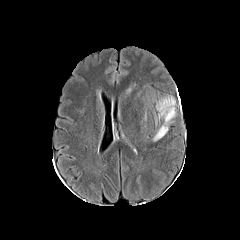
FLAIR MR.
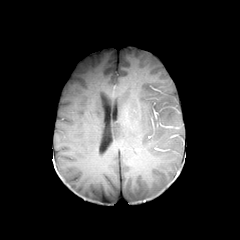
T1-weighted MR image.
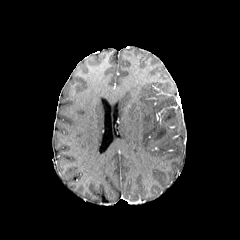
Post-contrast T1-weighted MRI of the same slice.
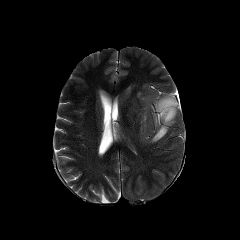
T2-weighted MR of the same slice.
Axial slice
Segmented structures:
- peritumoral edema: {"x1": 153, "y1": 96, "x2": 176, "y2": 141}